FLAIR MR image.
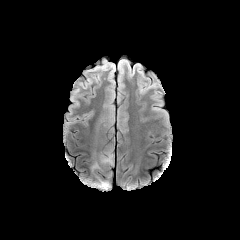
T1-weighted MR.
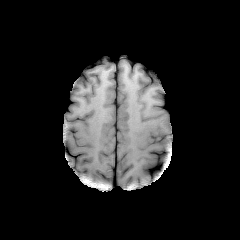
Post-contrast T1-weighted MR.
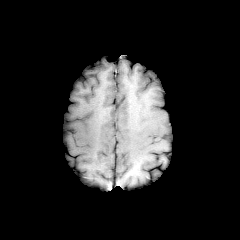
T2-weighted MR image.
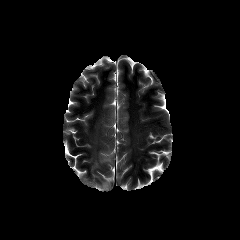
Axial plane | Head
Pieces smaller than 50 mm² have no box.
The 2 largest peritumoral edema regions are bounded by 100 152 112 163, 101 181 109 187.